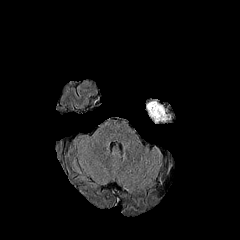
FLAIR MR.
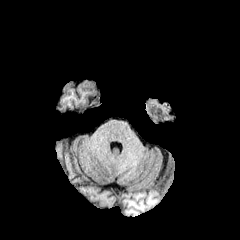
T1-weighted magnetic resonance.
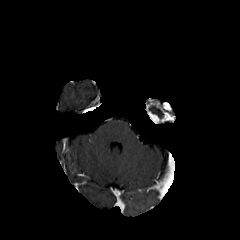
Post-contrast T1-weighted magnetic resonance.
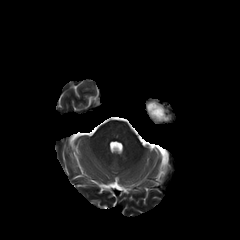
Same slice, T2-weighted magnetic resonance.
Image size 240x240 | Axial slice | Brain
{"necrotic_tumor_core": ["149, 106, 163, 118"], "enhancing_tumor": ["146, 101, 172, 123"]}